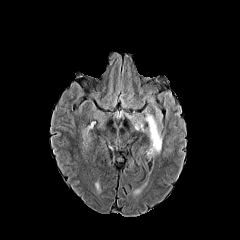
FLAIR MR.
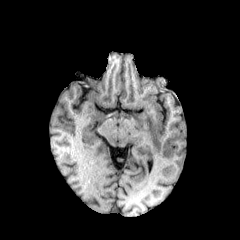
Same slice, T1-weighted MR.
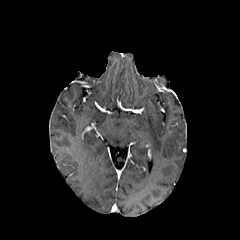
Post-contrast T1-weighted MR image of the same slice.
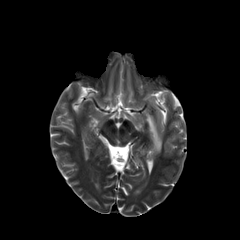
T2-weighted MR image.
Axial slice
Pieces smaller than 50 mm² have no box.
peritumoral edema: 145 114 161 154